FLAIR MR image.
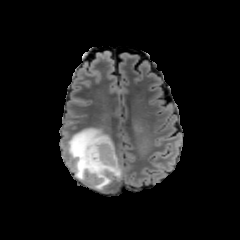
T1-weighted MRI.
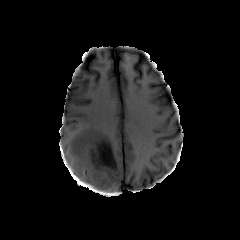
Post-contrast T1-weighted MR.
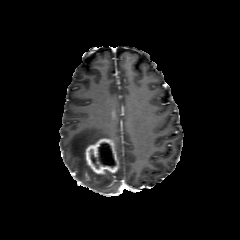
T2-weighted MRI.
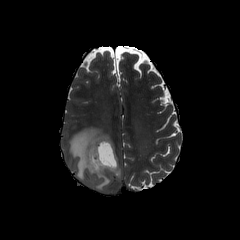
Head; Axial plane
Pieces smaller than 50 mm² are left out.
enhancing tumor — <box>85,138,118,174</box>
necrotic tumor core — <box>91,142,116,167</box>
peritumoral edema — <box>114,163,122,180</box>, <box>67,128,113,190</box>